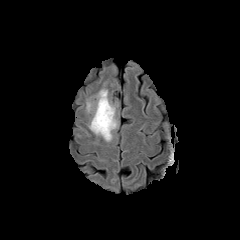
FLAIR magnetic resonance.
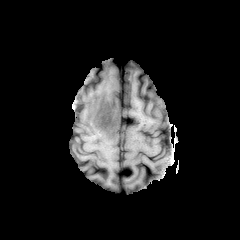
T1-weighted MR.
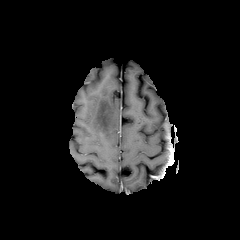
Post-contrast T1-weighted MRI.
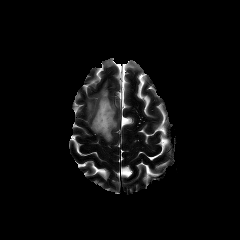
Same slice, T2-weighted MRI.
Axial slice.
peritumoral_edema:
  - bbox(86, 85, 118, 141)